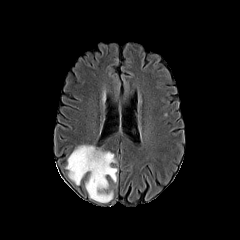
FLAIR magnetic resonance.
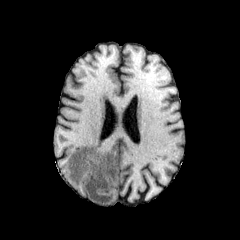
T1-weighted MRI.
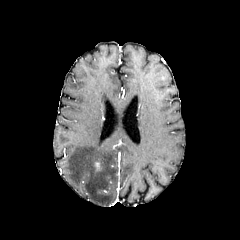
Post-contrast T1-weighted magnetic resonance of the same slice.
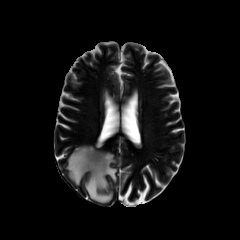
Same slice, T2-weighted MR.
Brain
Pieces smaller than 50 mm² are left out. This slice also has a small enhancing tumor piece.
Segmented structures:
* peritumoral edema: <bbox>64, 145, 117, 202</bbox>